Brain. Slice index 77.
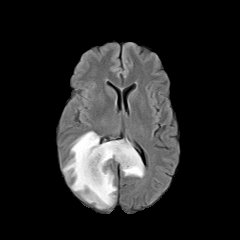
FLAIR magnetic resonance.
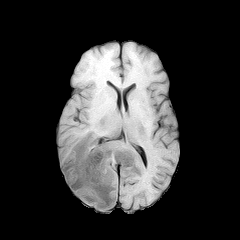
Same slice, T1-weighted MRI.
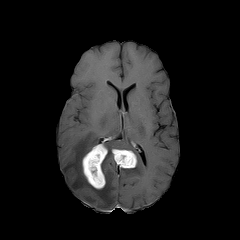
Same slice, post-contrast T1-weighted MR.
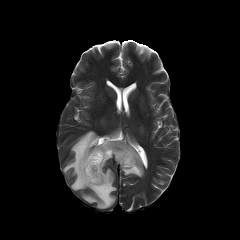
T2-weighted MR image of the same slice.
2 enhancing tumor regions are located at region(82, 143, 107, 189); region(112, 149, 137, 168). 2 necrotic tumor core regions are bounded by region(89, 153, 100, 179); region(120, 154, 133, 165). The peritumoral edema appears at region(63, 131, 144, 208).